Axial slice
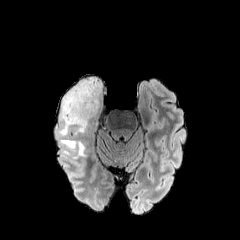
FLAIR magnetic resonance.
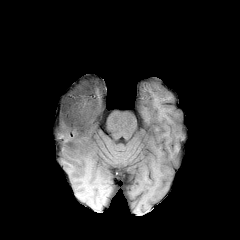
T1-weighted MR image.
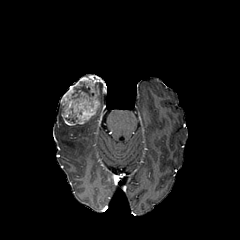
Post-contrast T1-weighted MR image.
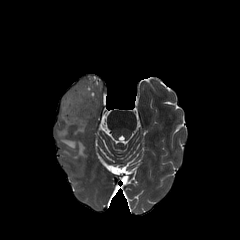
Same slice, T2-weighted MR image.
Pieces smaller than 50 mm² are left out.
peritumoral edema = (97,81,102,101), (58,103,87,158)
necrotic tumor core = (74,81,93,96), (65,114,77,122)
enhancing tumor = (61,75,100,125)